Brain, 240x240 px, Slice 63/155, Axial plane
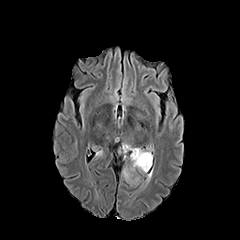
FLAIR MR image.
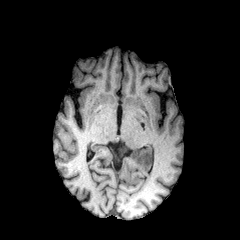
T1-weighted MR image of the same slice.
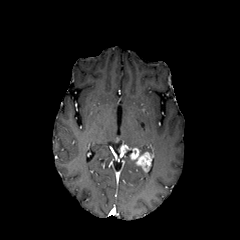
Post-contrast T1-weighted MR image.
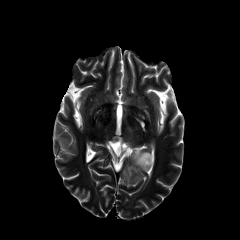
Same slice, T2-weighted magnetic resonance.
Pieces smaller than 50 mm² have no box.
enhancing tumor: left=119, top=144, right=152, bottom=172
peritumoral edema: left=123, top=169, right=130, bottom=180